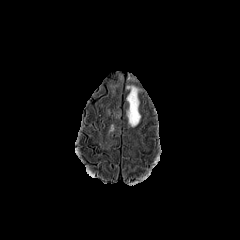
FLAIR MRI.
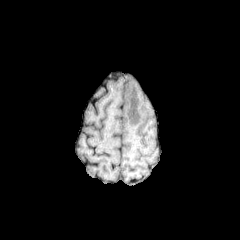
T1-weighted magnetic resonance.
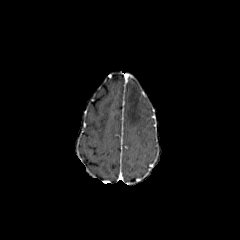
Post-contrast T1-weighted MR of the same slice.
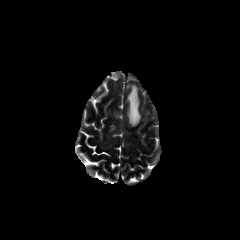
T2-weighted MR of the same slice.
Brain
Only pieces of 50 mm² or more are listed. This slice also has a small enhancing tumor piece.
peritumoral edema: box(126, 85, 140, 126)